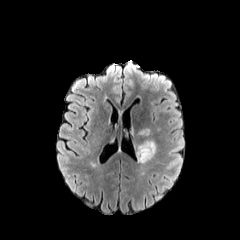
FLAIR MR.
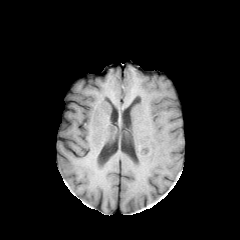
T1-weighted MR image.
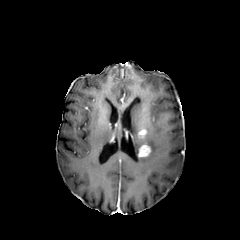
Post-contrast T1-weighted MR.
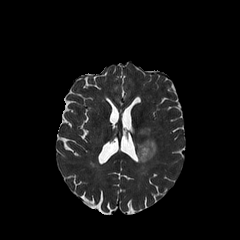
T2-weighted MRI.
240x240 px.
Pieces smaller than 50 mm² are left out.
Segmented structures:
• peritumoral edema: <bbox>137, 140, 156, 163</bbox>
• enhancing tumor: <bbox>138, 129, 146, 137</bbox>, <bbox>138, 144, 150, 156</bbox>